FLAIR MR image.
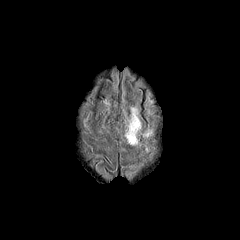
T1-weighted MR.
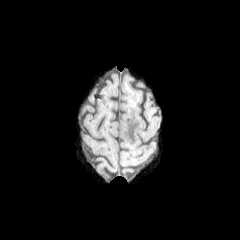
Post-contrast T1-weighted MR.
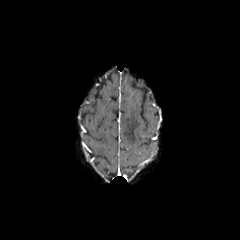
T2-weighted MR.
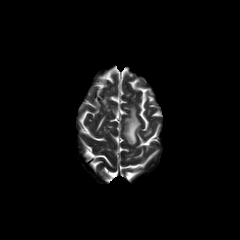
Axial plane
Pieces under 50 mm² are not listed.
peritumoral_edema:
  - 125, 107, 140, 144